Slice 68 of 155, Image covers 240 mm x 240 mm
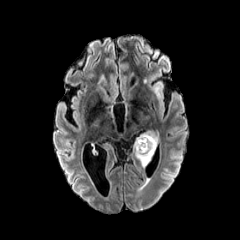
FLAIR MRI.
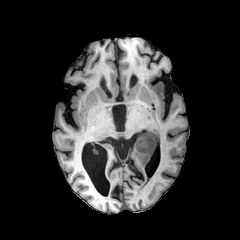
T1-weighted MR image.
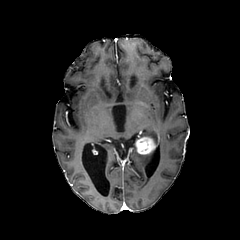
Post-contrast T1-weighted MR image.
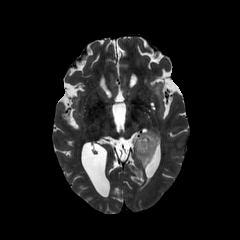
T2-weighted magnetic resonance of the same slice.
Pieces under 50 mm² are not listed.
{"peritumoral_edema": ["<bbox>139, 131, 159, 144</bbox>", "<bbox>134, 143, 155, 166</bbox>"], "enhancing_tumor": ["<bbox>135, 135, 156, 154</bbox>"]}